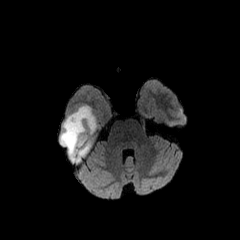
FLAIR MR image.
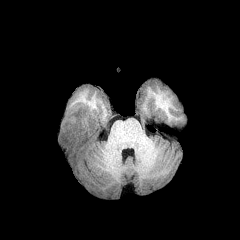
Same slice, T1-weighted MR image.
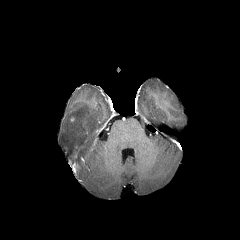
Same slice, post-contrast T1-weighted MRI.
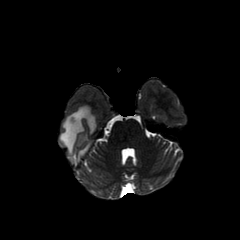
Same slice, T2-weighted MR.
Image size 240x240
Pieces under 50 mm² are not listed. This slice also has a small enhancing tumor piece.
* peritumoral edema: x1=60 y1=105 x2=95 y2=161